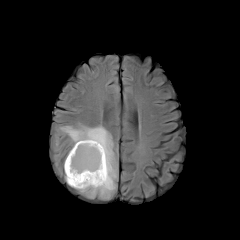
FLAIR MR image.
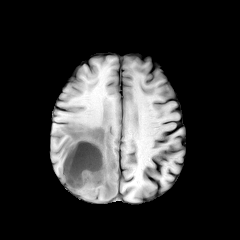
T1-weighted MRI.
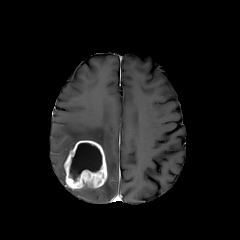
Post-contrast T1-weighted MRI.
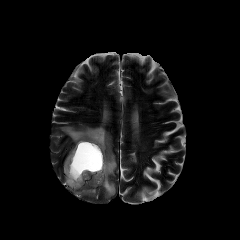
T2-weighted MRI.
Axial view
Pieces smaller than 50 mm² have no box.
enhancing tumor at <box>64,140,107,189</box>
peritumoral edema at <box>60,125,116,198</box>
necrotic tumor core at <box>70,143,101,180</box>